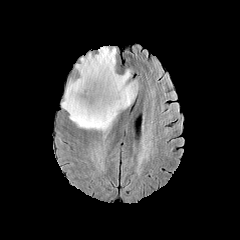
FLAIR MR.
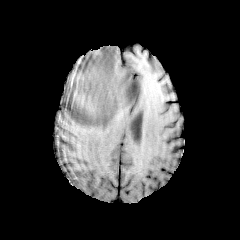
T1-weighted MR of the same slice.
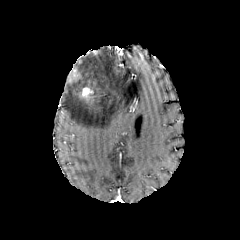
Post-contrast T1-weighted magnetic resonance.
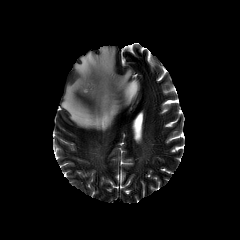
Same slice, T2-weighted MR.
Axial plane | Image size 240x240 | Brain
Findings:
• enhancing tumor: (left=81, top=84, right=93, bottom=98)
• peritumoral edema: (left=61, top=46, right=138, bottom=132)